FLAIR MR.
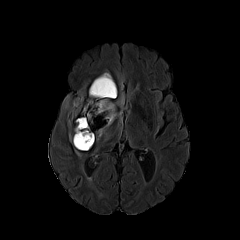
T1-weighted MR image.
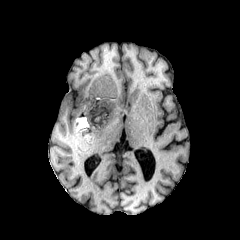
Post-contrast T1-weighted MRI.
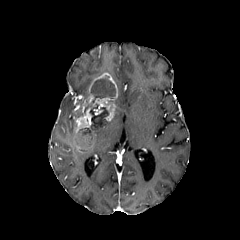
T2-weighted MR.
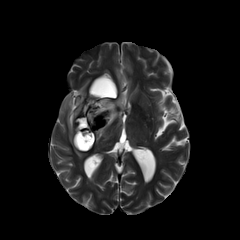
240x240; Head
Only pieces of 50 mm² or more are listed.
Segmented structures:
* necrotic tumor core: (79, 104, 91, 116), (90, 76, 115, 102), (77, 104, 108, 148)
* peritumoral edema: (69, 133, 77, 149), (96, 93, 125, 141), (63, 96, 78, 116)
* enhancing tumor: (74, 72, 117, 149)